FLAIR MR image.
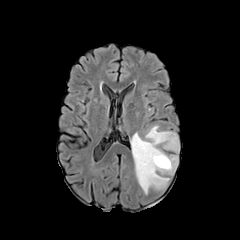
T1-weighted magnetic resonance.
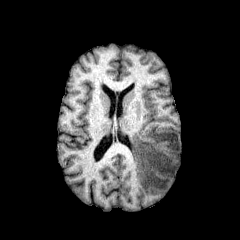
Post-contrast T1-weighted MR image.
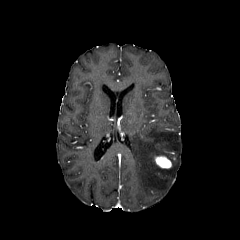
T2-weighted MR.
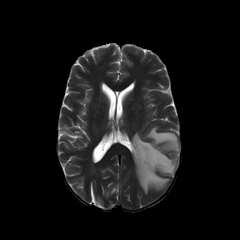
Image size 240x240. Brain.
The enhancing tumor is at l=154, t=155, r=171, b=168. The peritumoral edema is located at l=131, t=126, r=179, b=194.